FLAIR MR image.
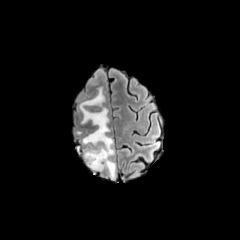
T1-weighted MRI.
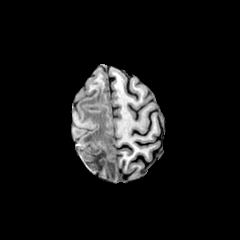
Post-contrast T1-weighted magnetic resonance.
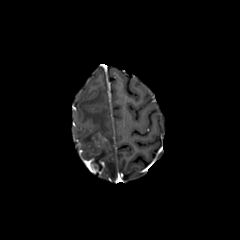
T2-weighted MR.
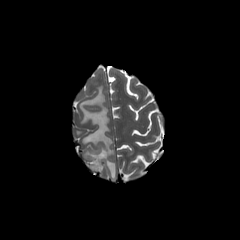
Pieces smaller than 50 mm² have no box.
The largest peritumoral edema region is at (left=80, top=87, right=116, bottom=179). 3 enhancing tumor regions are bounded by (left=92, top=132, right=108, bottom=156), (left=82, top=157, right=104, bottom=173), (left=78, top=149, right=100, bottom=156). The necrotic tumor core is at (left=83, top=150, right=105, bottom=170).